FLAIR MR.
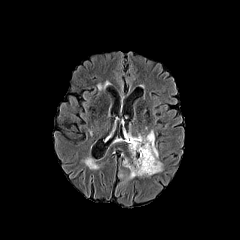
T1-weighted magnetic resonance.
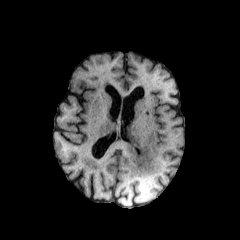
Post-contrast T1-weighted magnetic resonance.
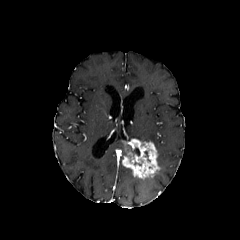
T2-weighted MR image.
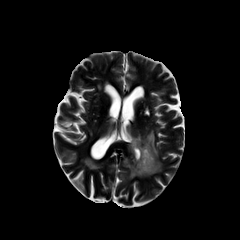
Brain. Axial view.
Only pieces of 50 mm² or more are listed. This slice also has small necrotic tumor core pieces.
The 2 largest peritumoral edema regions are located at rect(125, 169, 134, 180); rect(129, 130, 154, 144). The enhancing tumor lies within rect(122, 139, 160, 178).